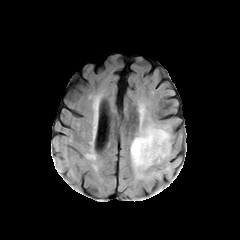
FLAIR MR image.
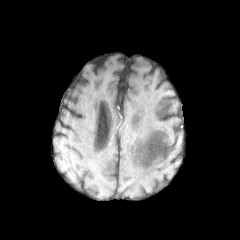
Same slice, T1-weighted MR.
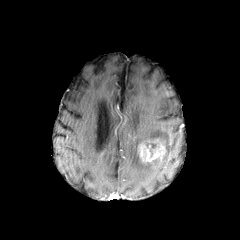
Post-contrast T1-weighted MRI.
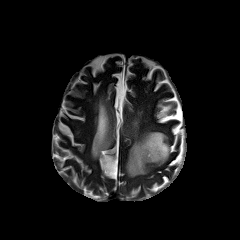
Same slice, T2-weighted MR image.
240x240 px, Axial slice, Brain
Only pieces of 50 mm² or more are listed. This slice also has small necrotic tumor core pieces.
<segmentation>
  <enhancing_tumor>(x1=137, y1=137, x2=166, y2=163)</enhancing_tumor>
  <peritumoral_edema>(x1=130, y1=126, x2=171, y2=177)</peritumoral_edema>
</segmentation>